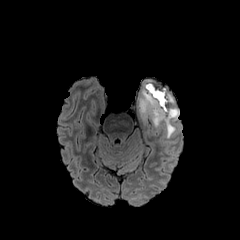
FLAIR magnetic resonance.
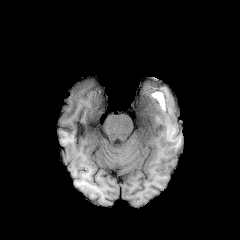
T1-weighted MR image.
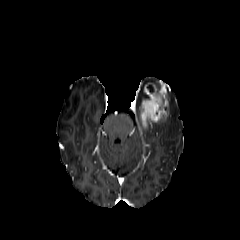
Post-contrast T1-weighted MR image.
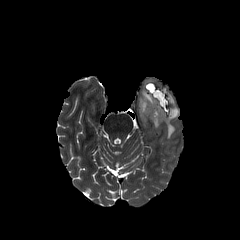
Same slice, T2-weighted magnetic resonance.
Axial plane | 240x240 px | Brain
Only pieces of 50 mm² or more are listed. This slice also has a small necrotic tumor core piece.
peritumoral edema: box=[153, 94, 179, 138]; box=[139, 89, 145, 106] | enhancing tumor: box=[139, 81, 170, 128]